Head | Slice 112/155
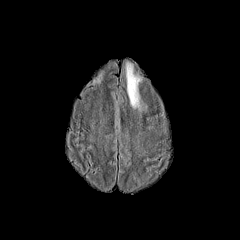
FLAIR MRI.
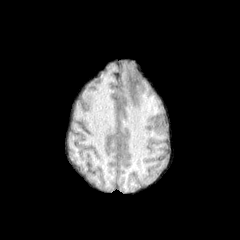
T1-weighted MR image.
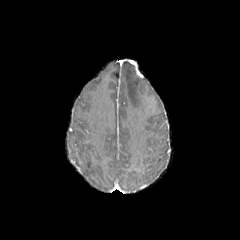
Post-contrast T1-weighted magnetic resonance of the same slice.
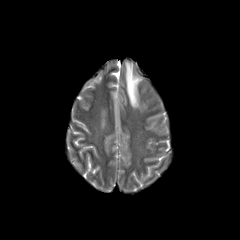
T2-weighted MR of the same slice.
peritumoral edema: <bbox>126, 60, 142, 109</bbox>